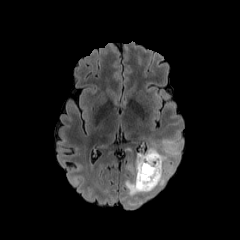
FLAIR magnetic resonance.
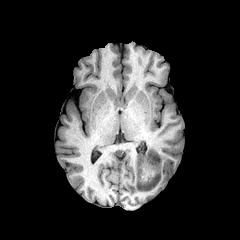
T1-weighted MR image of the same slice.
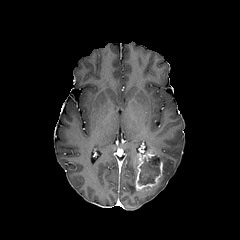
Post-contrast T1-weighted magnetic resonance.
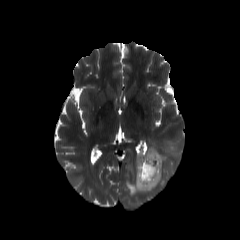
T2-weighted MRI.
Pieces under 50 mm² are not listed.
Findings:
• necrotic tumor core: l=140, t=155, r=160, b=184
• enhancing tumor: l=135, t=150, r=163, b=190
• peritumoral edema: l=125, t=135, r=181, b=196